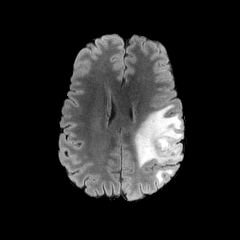
FLAIR magnetic resonance.
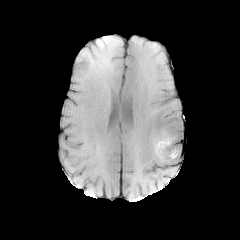
T1-weighted MRI of the same slice.
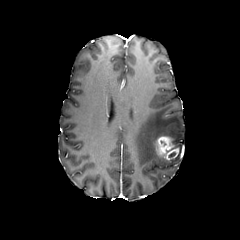
Post-contrast T1-weighted MR image.
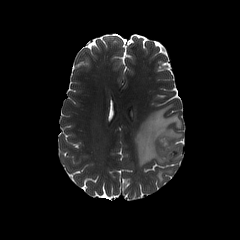
T2-weighted magnetic resonance.
240x240, Axial slice
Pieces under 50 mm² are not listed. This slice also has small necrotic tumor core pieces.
enhancing tumor: (x1=155, y1=136, x2=179, y2=160)
peritumoral edema: (x1=134, y1=104, x2=182, y2=184)